Head; Slice 124/155
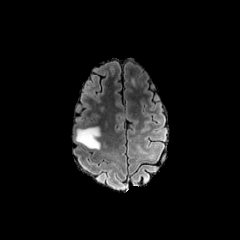
FLAIR magnetic resonance.
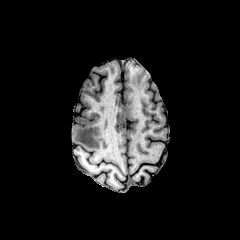
Same slice, T1-weighted magnetic resonance.
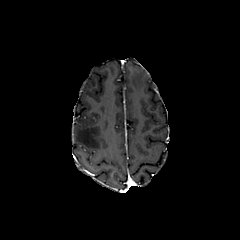
Same slice, post-contrast T1-weighted MR image.
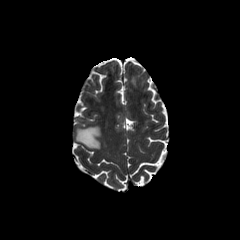
Same slice, T2-weighted magnetic resonance.
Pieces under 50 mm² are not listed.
<segmentation>
  <peritumoral_edema>(left=75, top=127, right=100, bottom=149)</peritumoral_edema>
</segmentation>